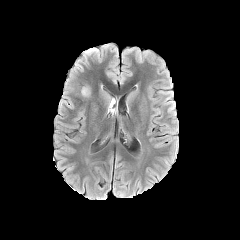
FLAIR MR image.
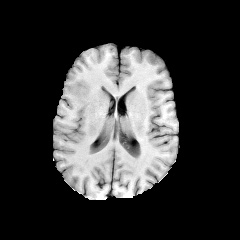
Same slice, T1-weighted MR.
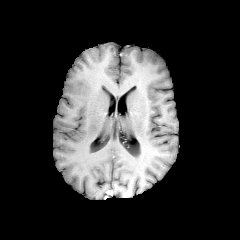
Post-contrast T1-weighted magnetic resonance of the same slice.
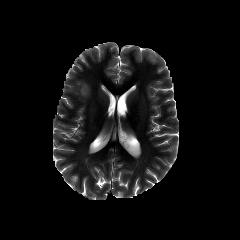
T2-weighted MRI of the same slice.
Head.
peritumoral edema: left=81, top=87, right=89, bottom=96